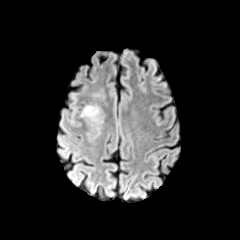
FLAIR magnetic resonance.
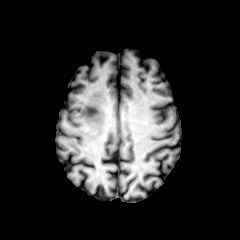
T1-weighted MR.
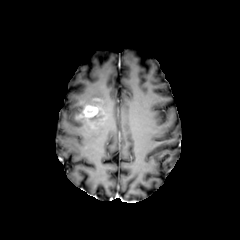
Post-contrast T1-weighted magnetic resonance of the same slice.
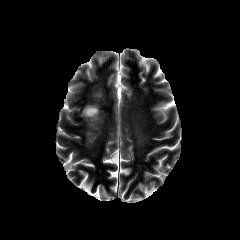
T2-weighted MR of the same slice.
Axial plane, Brain
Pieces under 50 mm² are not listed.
The largest peritumoral edema region is located at {"x1": 86, "y1": 108, "x2": 99, "y2": 121}. The enhancing tumor appears at {"x1": 81, "y1": 105, "x2": 98, "y2": 117}.